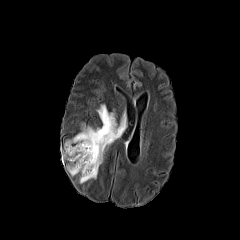
FLAIR MRI.
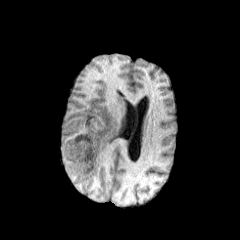
T1-weighted MRI of the same slice.
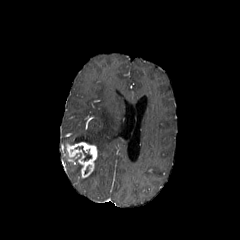
Same slice, post-contrast T1-weighted magnetic resonance.
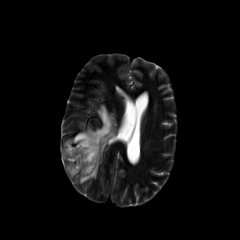
T2-weighted MRI.
Axial slice; Image size 240x240; Brain
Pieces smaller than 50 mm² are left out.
• peritumoral edema: [x1=65, y1=103, x2=128, y2=183], [x1=67, y1=164, x2=81, y2=176]
• enhancing tumor: [x1=62, y1=142, x2=97, y2=178]
• necrotic tumor core: [x1=75, y1=146, x2=91, y2=160]